FLAIR magnetic resonance.
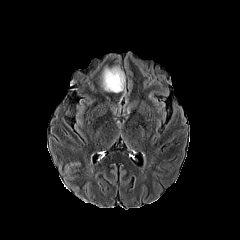
T1-weighted MRI.
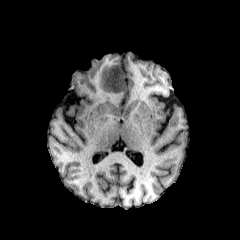
Post-contrast T1-weighted MRI.
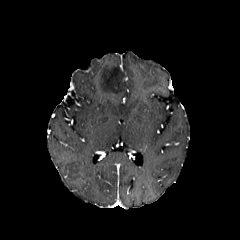
T2-weighted MR image.
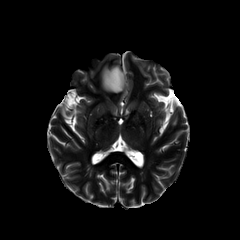
240x240. Axial plane.
The peritumoral edema is located at left=102, top=66, right=124, bottom=92.